Image width 240 mm | Head
FLAIR magnetic resonance.
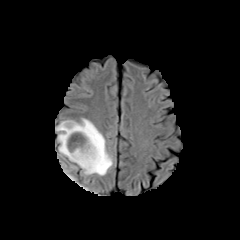
T1-weighted MRI.
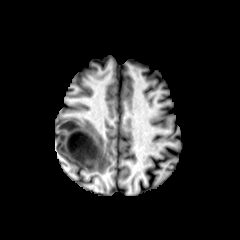
Post-contrast T1-weighted MR.
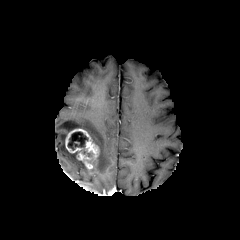
T2-weighted MR image.
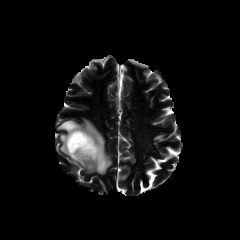
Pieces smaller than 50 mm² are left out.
Findings:
• enhancing tumor: (65, 128, 100, 169)
• peritumoral edema: (56, 118, 112, 175)
• necrotic tumor core: (68, 131, 88, 150)